Image width 240 mm, 1.00 mm slice spacing | Head | Slice 108/155 | Axial view
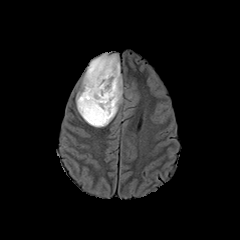
FLAIR MR.
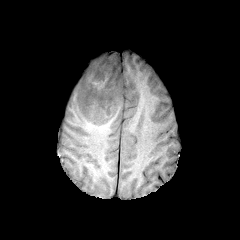
T1-weighted MR image of the same slice.
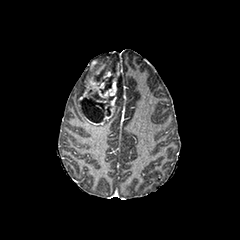
Post-contrast T1-weighted MR of the same slice.
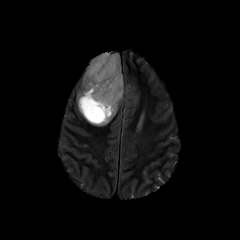
T2-weighted MR of the same slice.
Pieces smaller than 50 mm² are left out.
The largest enhancing tumor region is located at 78, 63, 119, 124. The 2 largest peritumoral edema regions are located at 76, 52, 123, 127; 88, 89, 106, 100. 2 necrotic tumor core regions are bounded by 106, 77, 110, 90; 81, 97, 110, 122.